Head, Axial plane
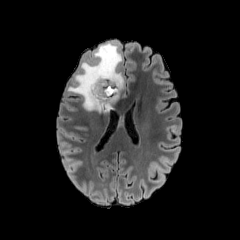
FLAIR MRI.
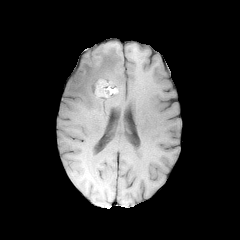
T1-weighted MR image.
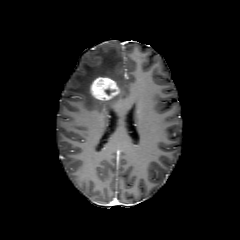
Same slice, post-contrast T1-weighted MR.
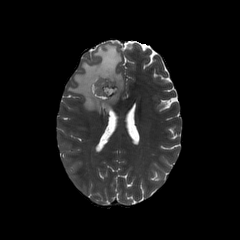
T2-weighted MR of the same slice.
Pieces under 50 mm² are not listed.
necrotic tumor core: bounding box bbox(96, 80, 116, 96)
peritumoral edema: bounding box bbox(67, 43, 124, 112)
enhancing tumor: bounding box bbox(90, 77, 119, 100)